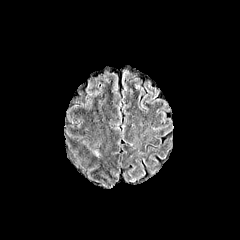
FLAIR MRI.
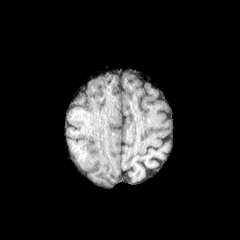
Same slice, T1-weighted magnetic resonance.
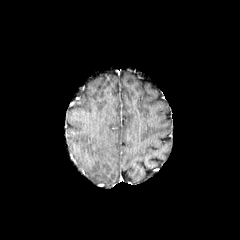
Post-contrast T1-weighted MR image.
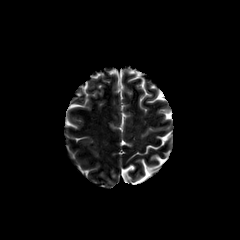
T2-weighted MR.
Brain; Axial slice; Image size 240x240
peritumoral_edema:
  - (92, 149, 100, 156)